FLAIR MR.
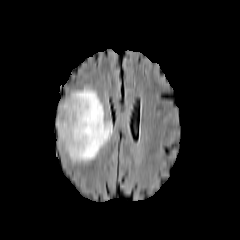
T1-weighted MR.
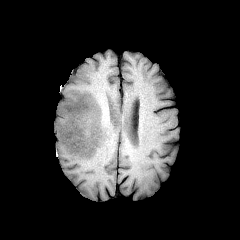
Post-contrast T1-weighted MR.
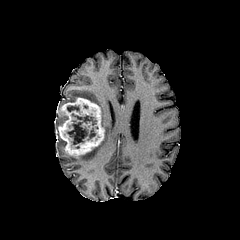
T2-weighted MR.
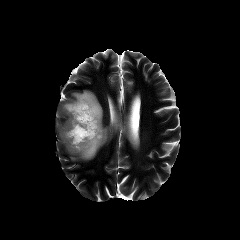
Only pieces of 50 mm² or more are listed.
The largest peritumoral edema region lies within (63, 88, 112, 161). The enhancing tumor is at (58, 97, 104, 156). The 2 largest necrotic tumor core regions are bounded by (67, 113, 96, 144), (67, 106, 79, 111).